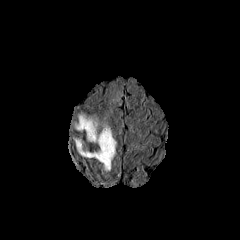
FLAIR magnetic resonance.
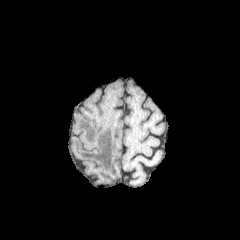
T1-weighted MRI of the same slice.
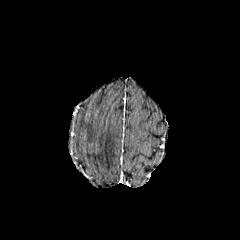
Same slice, post-contrast T1-weighted MRI.
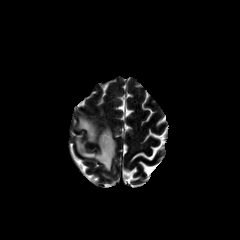
T2-weighted MR image.
Brain | Axial view
The peritumoral edema is located at (left=72, top=111, right=116, bottom=171).